Axial view.
FLAIR magnetic resonance.
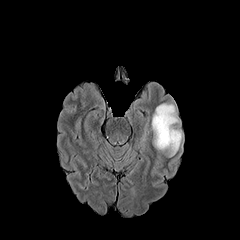
T1-weighted magnetic resonance.
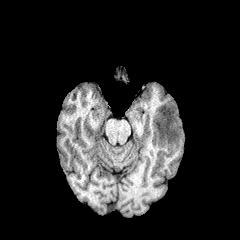
Post-contrast T1-weighted MR.
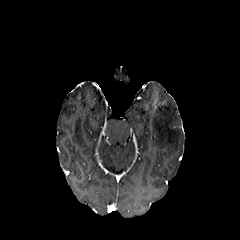
T2-weighted magnetic resonance.
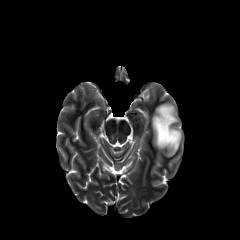
{
  "peritumoral_edema": [
    "152 103 182 156"
  ]
}